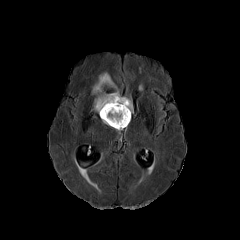
FLAIR MR image.
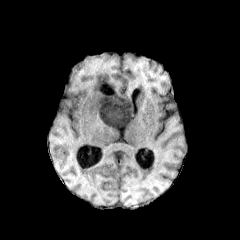
Same slice, T1-weighted MRI.
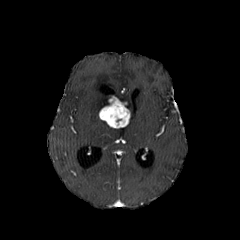
Post-contrast T1-weighted MR of the same slice.
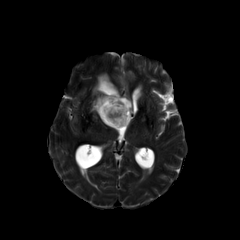
T2-weighted MRI.
Axial plane | 240x240 px
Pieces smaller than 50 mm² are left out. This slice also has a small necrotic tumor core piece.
Annotated regions:
* enhancing tumor: x1=99 y1=95 x2=130 y2=128
* peritumoral edema: x1=92 y1=72 x2=133 y2=113